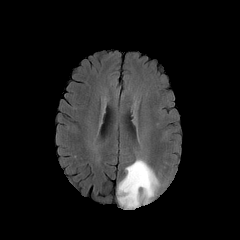
FLAIR MR image.
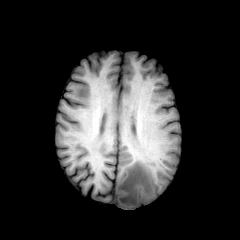
T1-weighted magnetic resonance of the same slice.
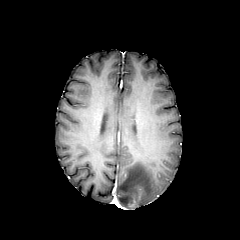
Post-contrast T1-weighted magnetic resonance.
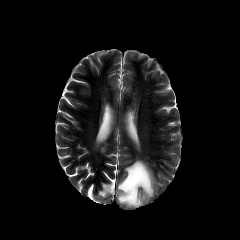
T2-weighted MRI of the same slice.
{
  "peritumoral_edema": [
    "left=117, top=159, right=159, bottom=208"
  ]
}